FLAIR magnetic resonance.
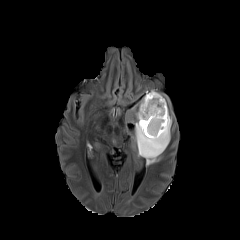
T1-weighted magnetic resonance.
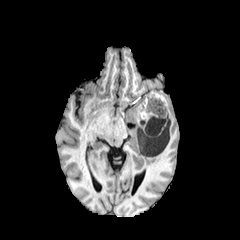
Post-contrast T1-weighted MRI.
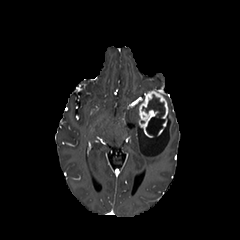
T2-weighted magnetic resonance.
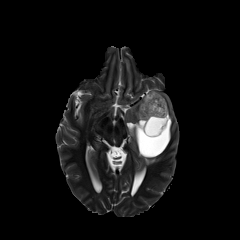
Axial view, Brain
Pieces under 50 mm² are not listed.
The enhancing tumor is at (138,90,168,137). The largest peritumoral edema region is located at (125,97,172,165). The largest necrotic tumor core region is at (142,94,165,137).